Image size 240x240; Slice 84 of 155
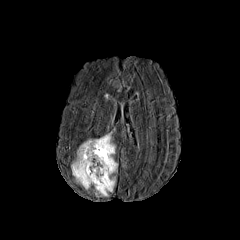
FLAIR MRI.
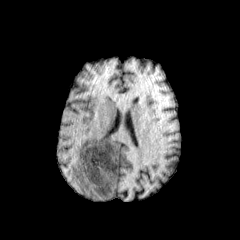
T1-weighted MR.
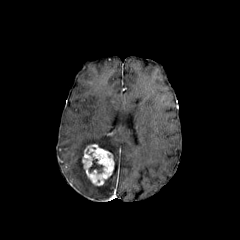
Post-contrast T1-weighted MR of the same slice.
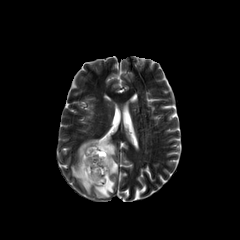
T2-weighted MRI.
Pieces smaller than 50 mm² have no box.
{"necrotic_tumor_core": ["bbox(89, 159, 102, 172)"], "enhancing_tumor": ["bbox(82, 144, 114, 185)"], "peritumoral_edema": ["bbox(71, 135, 115, 197)"]}